FLAIR MR.
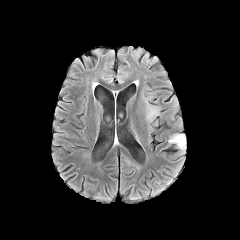
T1-weighted MRI.
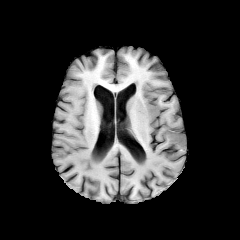
Post-contrast T1-weighted magnetic resonance.
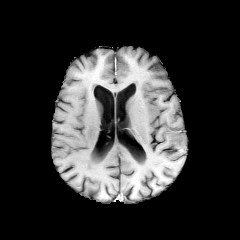
T2-weighted MR image.
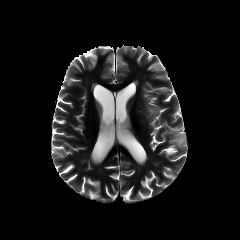
Head
peritumoral edema: 166, 133, 188, 149; 147, 103, 159, 120